FLAIR magnetic resonance.
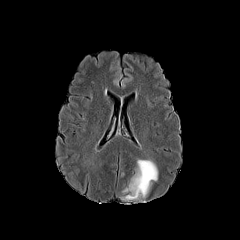
T1-weighted MR image.
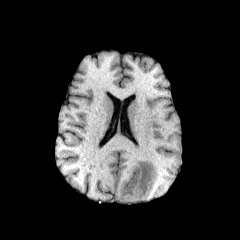
Post-contrast T1-weighted MRI.
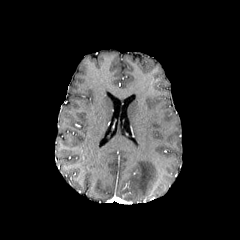
T2-weighted MRI.
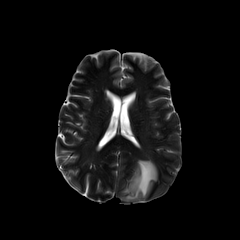
Axial view, Head
Annotated regions:
* peritumoral edema: 121,159,157,200